FLAIR MRI.
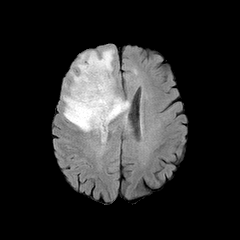
T1-weighted magnetic resonance.
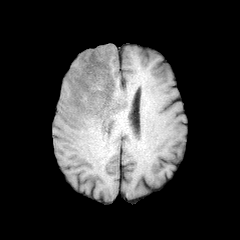
Post-contrast T1-weighted MR image.
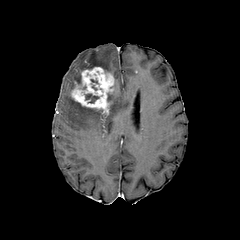
T2-weighted MR.
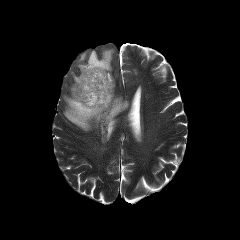
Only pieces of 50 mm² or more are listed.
enhancing tumor at (x1=71, y1=67, x2=114, y2=115)
peritumoral edema at (x1=63, y1=49, x2=129, y2=133)
necrotic tumor core at (x1=85, y1=94, x2=98, y2=102)